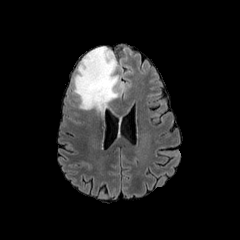
FLAIR MRI.
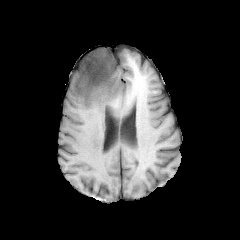
T1-weighted MRI.
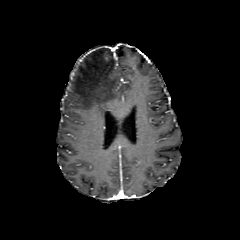
Post-contrast T1-weighted MR.
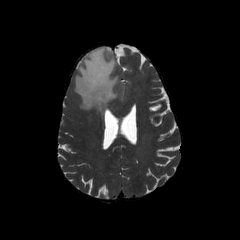
Same slice, T2-weighted MR image.
240x240.
The peritumoral edema lies within box(72, 47, 123, 116).